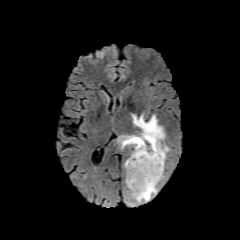
FLAIR magnetic resonance.
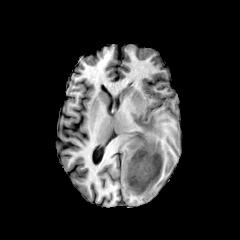
T1-weighted MR of the same slice.
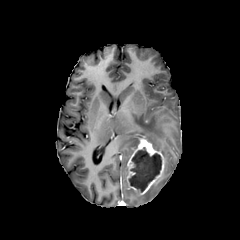
Post-contrast T1-weighted MR.
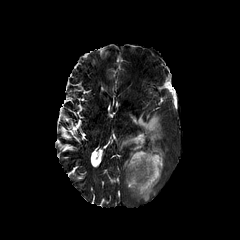
T2-weighted magnetic resonance.
Head, 240x240 px
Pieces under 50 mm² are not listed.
peritumoral edema — <box>119,114,169,159</box>, <box>129,183,157,202</box>
enhancing tumor — <box>126,136,164,195</box>
necrotic tumor core — <box>129,148,161,192</box>